FLAIR MR image.
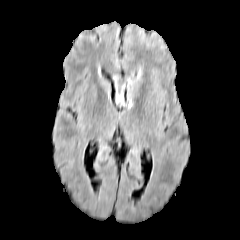
T1-weighted MR image.
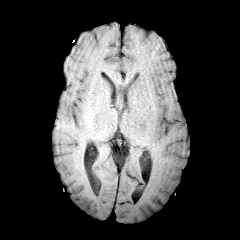
Post-contrast T1-weighted magnetic resonance.
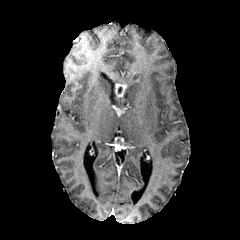
T2-weighted magnetic resonance.
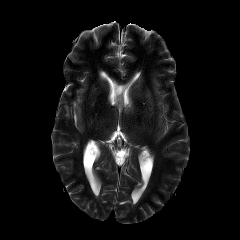
Axial view
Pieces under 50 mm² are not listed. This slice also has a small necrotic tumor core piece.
The 2 largest peritumoral edema regions appear at l=126, t=93, r=132, b=108; l=116, t=97, r=123, b=105. The enhancing tumor lies within l=115, t=84, r=125, b=97.